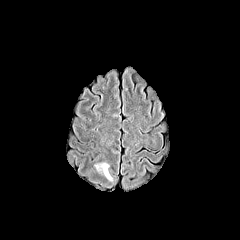
FLAIR MRI.
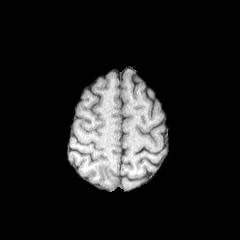
T1-weighted MRI.
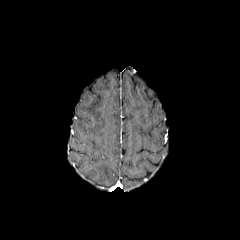
Post-contrast T1-weighted MR image.
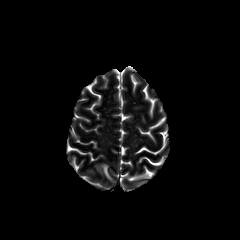
Same slice, T2-weighted magnetic resonance.
Head
peritumoral edema: (x1=95, y1=163, x2=112, y2=181)